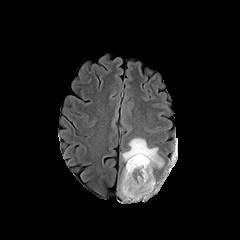
FLAIR MR image.
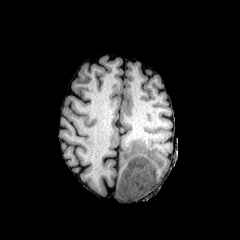
T1-weighted MRI.
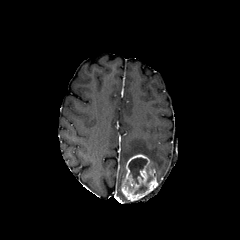
Post-contrast T1-weighted MR of the same slice.
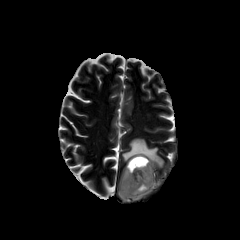
T2-weighted MR of the same slice.
Axial slice; 240x240 px
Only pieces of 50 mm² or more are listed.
The enhancing tumor lies within (left=120, top=154, right=158, bottom=201). The largest peritumoral edema region is located at (left=122, top=138, right=164, bottom=168). The 2 largest necrotic tumor core regions appear at (left=135, top=184, right=147, bottom=193), (left=128, top=157, right=147, bottom=183).